Brain | Axial slice | Image size 240x240 | Slice index 49
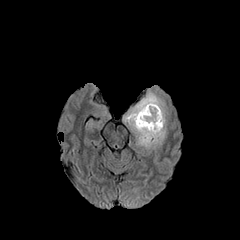
FLAIR MRI.
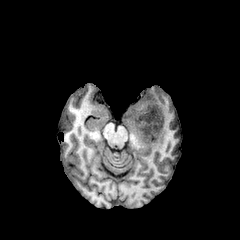
T1-weighted MR image of the same slice.
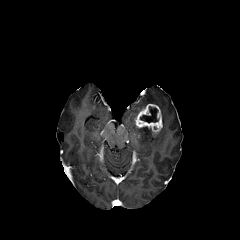
Post-contrast T1-weighted MR.
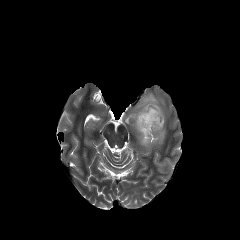
T2-weighted MR.
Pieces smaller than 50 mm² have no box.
The enhancing tumor lies within 134, 104, 162, 133. The largest necrotic tumor core region is bounded by 140, 106, 158, 122. The peritumoral edema is bounded by 123, 91, 166, 148.